Image size 240x240; Head; Axial view
FLAIR magnetic resonance.
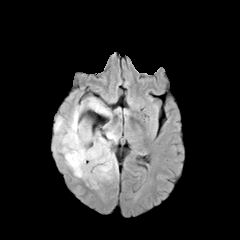
T1-weighted MR image.
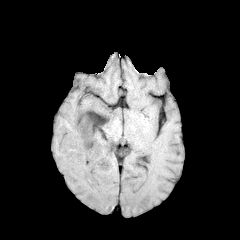
Post-contrast T1-weighted magnetic resonance.
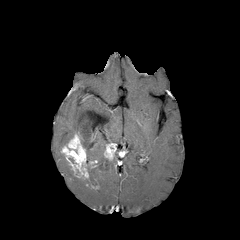
T2-weighted MR image.
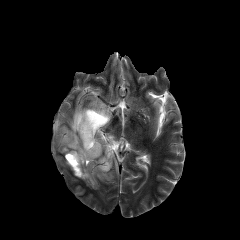
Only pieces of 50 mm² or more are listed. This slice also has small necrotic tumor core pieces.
The 2 largest enhancing tumor regions are bounded by bbox(61, 133, 97, 178); bbox(104, 142, 116, 160). The largest peritumoral edema region is located at bbox(54, 97, 119, 188).